FLAIR MRI.
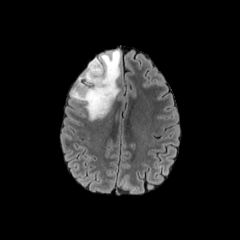
T1-weighted MR image.
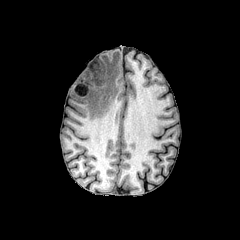
Post-contrast T1-weighted magnetic resonance.
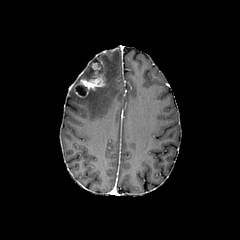
T2-weighted MR.
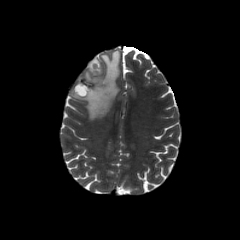
Segmented structures:
- peritumoral edema: (x1=72, y1=50, x2=120, y2=120), (x1=77, y1=67, x2=93, y2=83)
- necrotic tumor core: (x1=76, y1=85, x2=86, y2=95)
- enhancing tumor: (x1=74, y1=62, x2=106, y2=97)